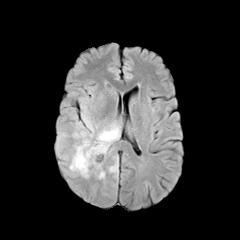
FLAIR magnetic resonance.
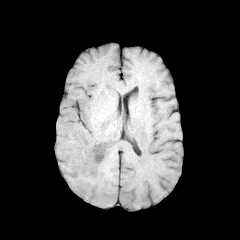
T1-weighted MR image.
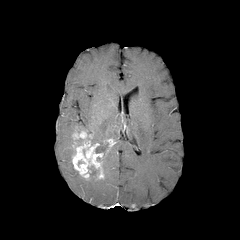
Post-contrast T1-weighted magnetic resonance.
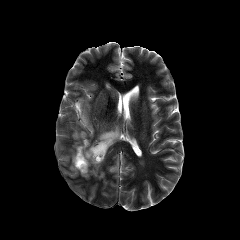
T2-weighted MR image.
Brain
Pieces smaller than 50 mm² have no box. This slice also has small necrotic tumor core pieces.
enhancing tumor: box(72, 131, 104, 178); box(106, 138, 115, 148) | peritumoral edema: box(73, 106, 120, 155); box(69, 150, 79, 174); box(109, 161, 118, 172)